Brain. Axial plane.
FLAIR MR image.
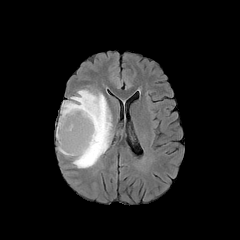
T1-weighted magnetic resonance.
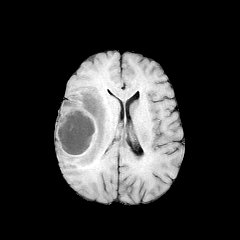
Post-contrast T1-weighted magnetic resonance.
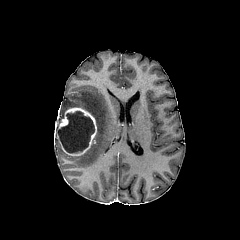
T2-weighted MRI.
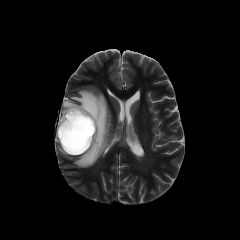
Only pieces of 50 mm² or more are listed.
peritumoral edema: bounding box l=58, t=89, r=111, b=167
necrotic tumor core: bounding box l=57, t=111, r=94, b=153
enhancing tumor: bounding box l=56, t=107, r=96, b=155